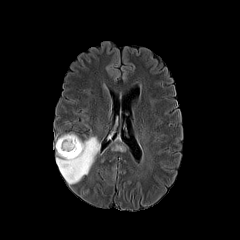
FLAIR MR.
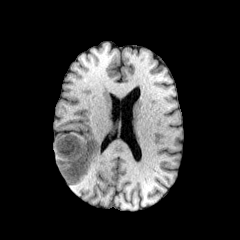
T1-weighted MR image of the same slice.
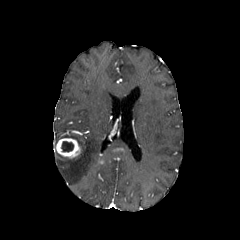
Post-contrast T1-weighted MR image.
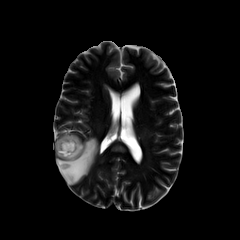
T2-weighted magnetic resonance of the same slice.
Image size 240x240, Head
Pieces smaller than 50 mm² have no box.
The largest enhancing tumor region is at l=56, t=138, r=81, b=158. The necrotic tumor core lies within l=61, t=141, r=73, b=152. 2 peritumoral edema regions are located at l=56, t=134, r=99, b=184; l=113, t=144, r=126, b=151.